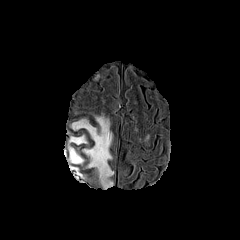
FLAIR MR.
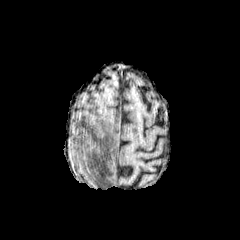
T1-weighted MRI.
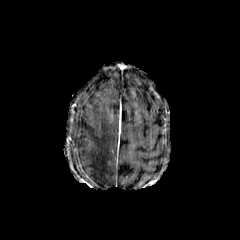
Post-contrast T1-weighted MR image of the same slice.
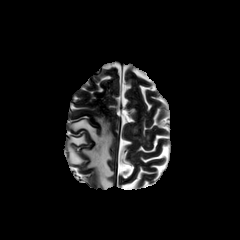
T2-weighted magnetic resonance.
Brain. Axial view.
{
  "peritumoral_edema": [
    "x1=69, y1=146, x2=83, y2=163",
    "x1=70, y1=135, x2=86, y2=144",
    "x1=72, y1=117, x2=113, y2=188"
  ]
}